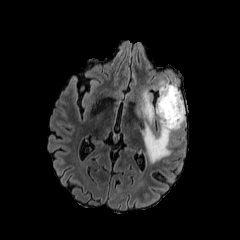
FLAIR MR image.
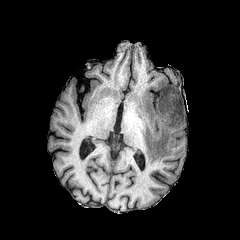
T1-weighted MR of the same slice.
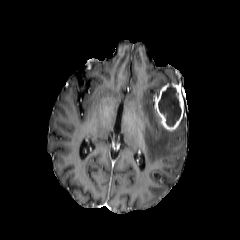
Post-contrast T1-weighted MR image.
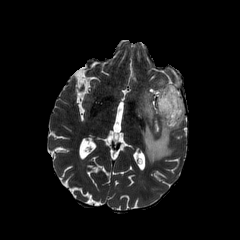
Same slice, T2-weighted MR.
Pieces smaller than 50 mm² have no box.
peritumoral edema at box(140, 91, 185, 163); box(158, 80, 168, 90)
necrotic tumor core at box(158, 85, 181, 126)
enhancing tumor at box(155, 83, 184, 130)